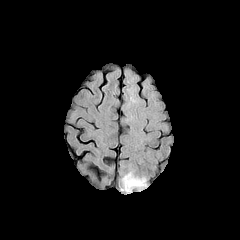
FLAIR MR image.
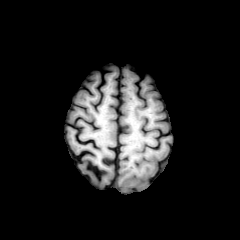
T1-weighted MRI of the same slice.
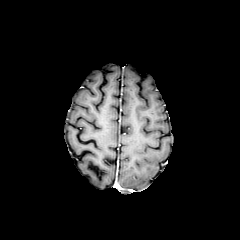
Post-contrast T1-weighted MR.
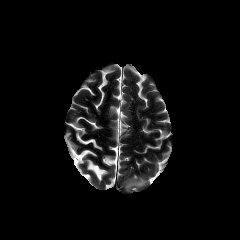
Same slice, T2-weighted magnetic resonance.
240x240 px.
The peritumoral edema lies within 124, 175, 144, 188.